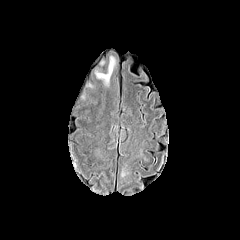
FLAIR MR.
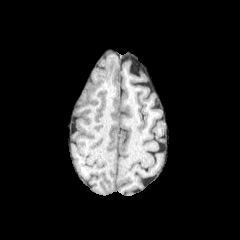
Same slice, T1-weighted MRI.
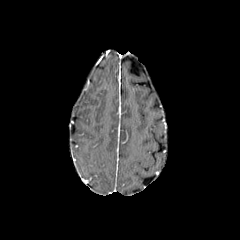
Same slice, post-contrast T1-weighted MRI.
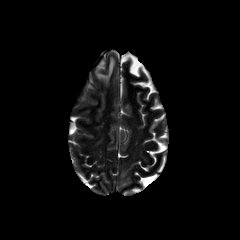
T2-weighted MRI of the same slice.
Brain
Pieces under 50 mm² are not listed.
The 2 largest peritumoral edema regions appear at (80,82,92,100), (95,58,114,85).